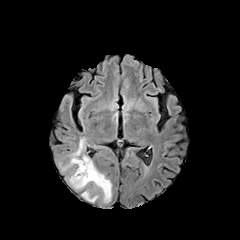
FLAIR MR image.
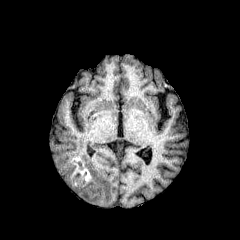
T1-weighted magnetic resonance.
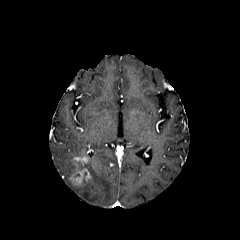
Post-contrast T1-weighted MR image of the same slice.
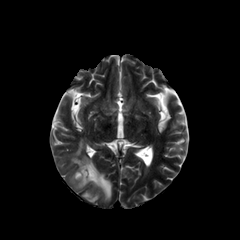
Same slice, T2-weighted MR image.
Axial slice | 240x240 | Brain
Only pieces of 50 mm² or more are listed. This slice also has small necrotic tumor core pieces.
3 peritumoral edema regions are bounded by <box>69,138,85,171</box>, <box>82,191,98,202</box>, <box>69,161,111,202</box>. The 2 largest enhancing tumor regions are bounded by <box>70,168,86,184</box>, <box>73,155,91,165</box>.